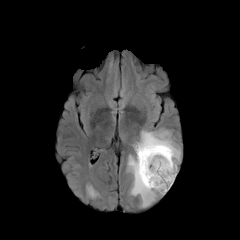
FLAIR magnetic resonance.
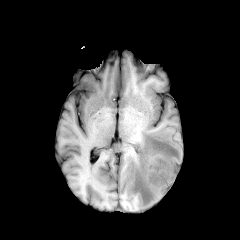
T1-weighted MR.
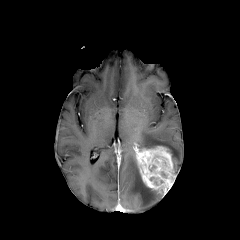
Post-contrast T1-weighted magnetic resonance.
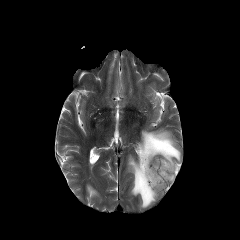
T2-weighted MRI of the same slice.
Brain
The enhancing tumor appears at 134:145:176:194. 2 peritumoral edema regions appear at 134:129:181:173, 127:153:164:208.